FLAIR magnetic resonance.
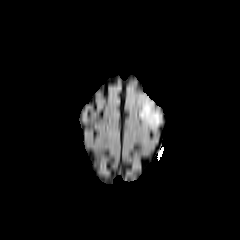
T1-weighted magnetic resonance.
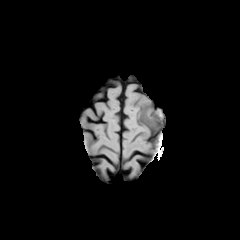
Post-contrast T1-weighted MRI.
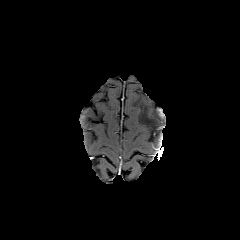
T2-weighted MR image.
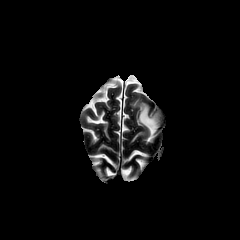
Brain; 240x240; Axial view
Findings:
* peritumoral edema: l=140, t=102, r=160, b=130